Image width 240 mm; Slice 67 of 155
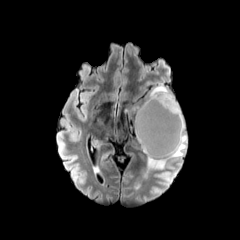
FLAIR MR.
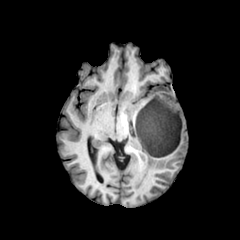
T1-weighted MR of the same slice.
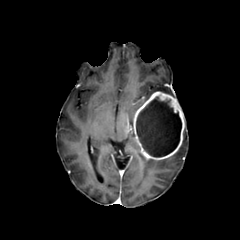
Same slice, post-contrast T1-weighted MRI.
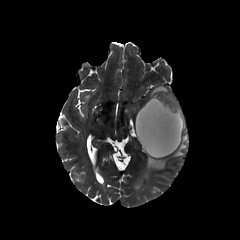
T2-weighted magnetic resonance of the same slice.
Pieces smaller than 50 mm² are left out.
peritumoral edema: [x1=147, y1=122, x2=187, y2=169], [x1=144, y1=84, x2=174, y2=102] | enhancing tumor: [x1=133, y1=91, x2=184, y2=160] | necrotic tumor core: [x1=136, y1=97, x2=181, y2=157]